FLAIR magnetic resonance.
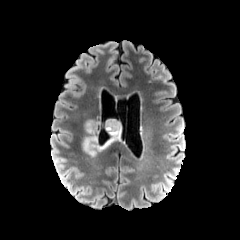
T1-weighted MRI.
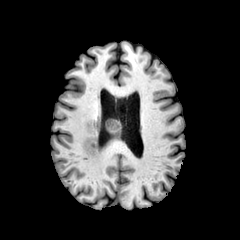
Post-contrast T1-weighted MRI.
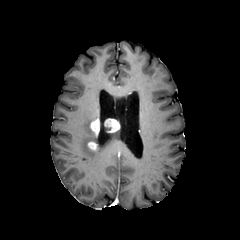
T2-weighted MR image.
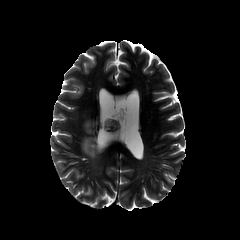
Brain
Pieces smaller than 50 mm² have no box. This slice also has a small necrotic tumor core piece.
3 enhancing tumor regions are bounded by box=[88, 142, 98, 150]; box=[104, 118, 120, 132]; box=[90, 118, 99, 136]. The largest peritumoral edema region is at box=[82, 120, 113, 157].